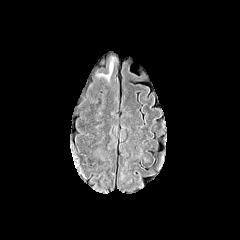
FLAIR magnetic resonance.
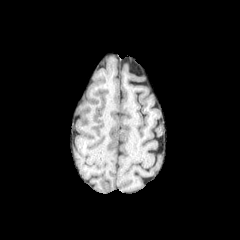
T1-weighted MRI.
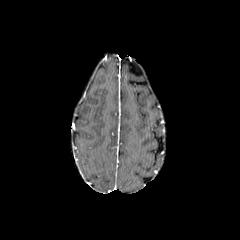
Post-contrast T1-weighted magnetic resonance.
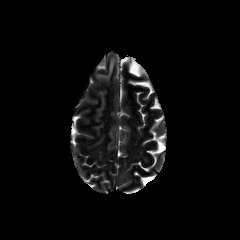
Same slice, T2-weighted magnetic resonance.
• peritumoral edema: box=[99, 63, 113, 80]